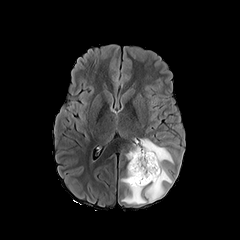
FLAIR MRI.
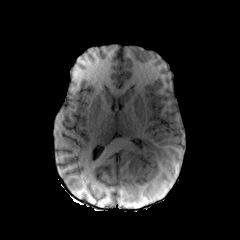
Same slice, T1-weighted MR.
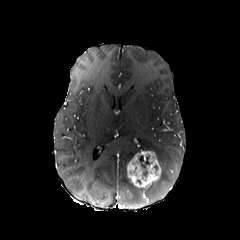
Post-contrast T1-weighted magnetic resonance.
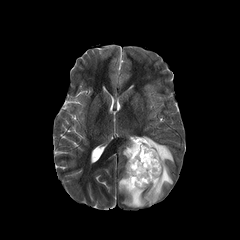
T2-weighted MR of the same slice.
Head, Axial view
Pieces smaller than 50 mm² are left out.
enhancing tumor: (127, 150, 160, 187)
necrotic tumor core: (139, 155, 149, 168)
peritumoral edema: (120, 138, 173, 204)